FLAIR magnetic resonance.
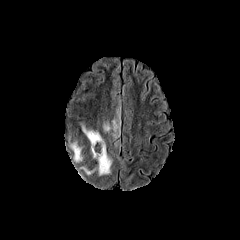
T1-weighted MR.
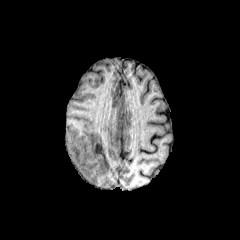
Post-contrast T1-weighted magnetic resonance.
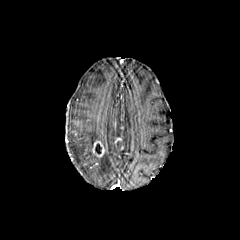
T2-weighted MR.
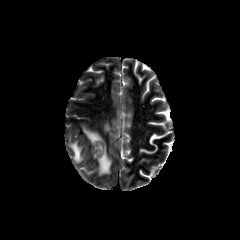
Axial plane; Head
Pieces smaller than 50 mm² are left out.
<segmentation>
  <enhancing_tumor>[92,141,104,157]</enhancing_tumor>
  <necrotic_tumor_core>[95,144,101,153]</necrotic_tumor_core>
  <peritumoral_edema>[70,141,82,162], [103,110,120,137], [80,125,111,175]</peritumoral_edema>
</segmentation>